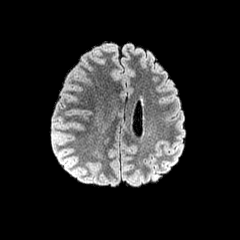
FLAIR MR.
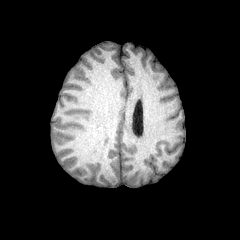
T1-weighted magnetic resonance.
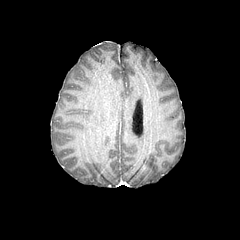
Same slice, post-contrast T1-weighted MR.
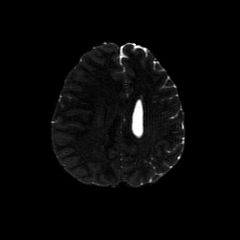
T2-weighted MRI of the same slice.
Brain.
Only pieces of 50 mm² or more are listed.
peritumoral edema at rect(95, 44, 112, 53)